Axial slice
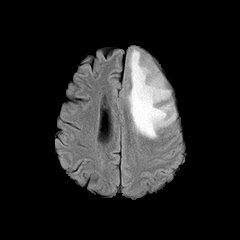
FLAIR MR.
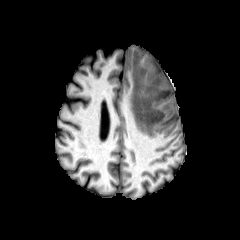
T1-weighted MR.
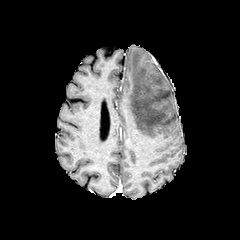
Post-contrast T1-weighted MR.
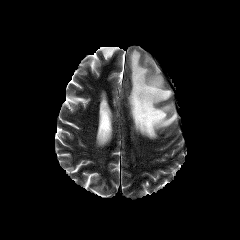
T2-weighted magnetic resonance of the same slice.
peritumoral edema: bounding box [128, 49, 176, 138]